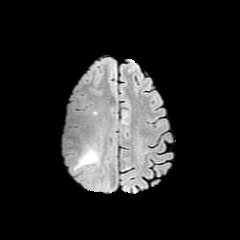
FLAIR magnetic resonance.
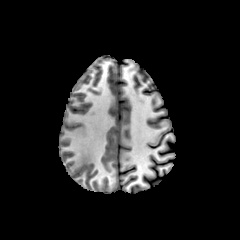
T1-weighted MRI of the same slice.
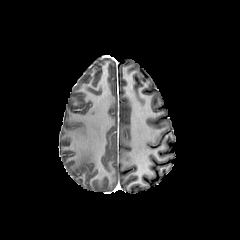
Same slice, post-contrast T1-weighted MRI.
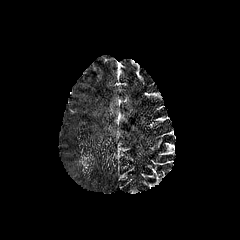
T2-weighted MR.
Axial plane.
The peritumoral edema appears at rect(76, 147, 102, 167).